Slice 83 of 155; Brain
FLAIR MRI.
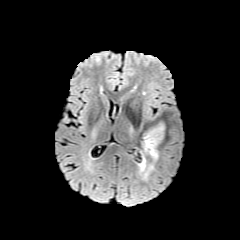
T1-weighted magnetic resonance.
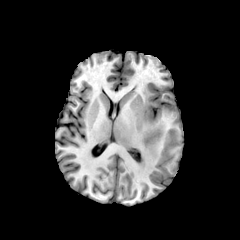
Post-contrast T1-weighted MR image.
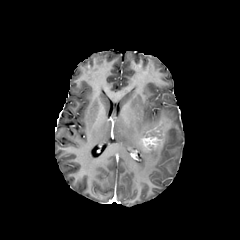
T2-weighted MRI.
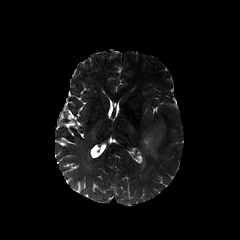
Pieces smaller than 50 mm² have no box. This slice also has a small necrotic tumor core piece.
enhancing tumor: bounding box box=[142, 128, 159, 149]
peritumoral edema: bounding box box=[140, 153, 145, 171]; box=[143, 146, 158, 159]